Head. Axial plane. Image covers 240 mm x 240 mm. 240x240 px.
FLAIR magnetic resonance.
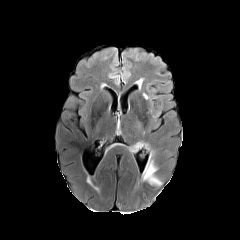
T1-weighted MR image.
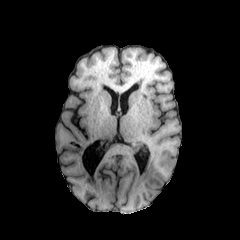
Post-contrast T1-weighted MRI.
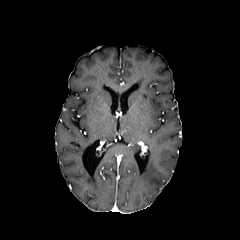
T2-weighted MRI.
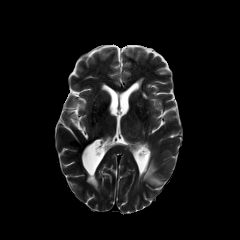
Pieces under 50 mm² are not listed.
peritumoral edema: [142,160,162,185]